Head
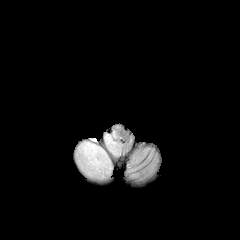
FLAIR magnetic resonance.
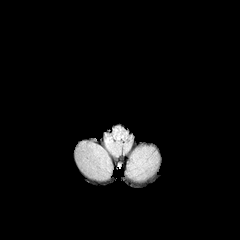
T1-weighted MR image.
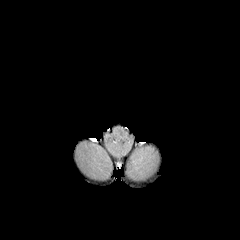
Post-contrast T1-weighted MR.
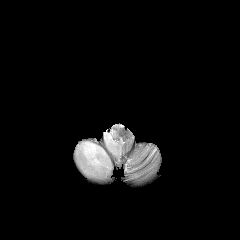
T2-weighted MR.
2 peritumoral edema regions are located at (75, 139, 112, 179), (104, 126, 124, 156).